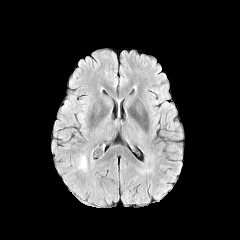
FLAIR MRI.
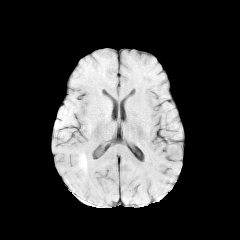
Same slice, T1-weighted MR.
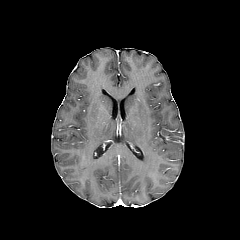
Post-contrast T1-weighted MRI.
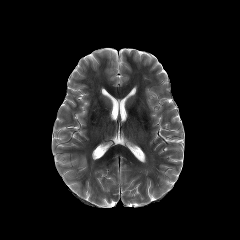
Same slice, T2-weighted MRI.
240x240. Axial view. Brain.
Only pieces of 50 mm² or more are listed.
{
  "peritumoral_edema": [
    "x1=77, y1=155, x2=87, y2=171"
  ]
}